Slice 77/155. Axial plane.
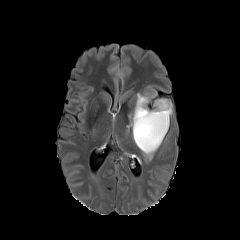
FLAIR MR.
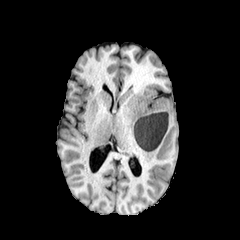
T1-weighted MR image of the same slice.
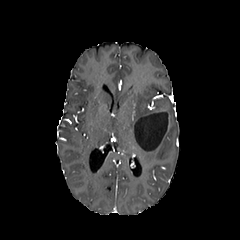
Same slice, post-contrast T1-weighted MRI.
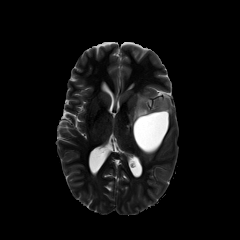
Same slice, T2-weighted MR image.
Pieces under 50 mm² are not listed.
peritumoral edema = [127,93,172,159]